Image covers 240 mm x 240 mm. Brain.
FLAIR MR image.
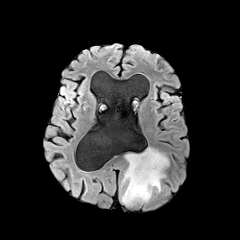
T1-weighted MR image.
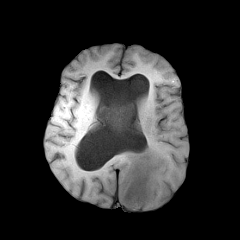
Post-contrast T1-weighted MRI.
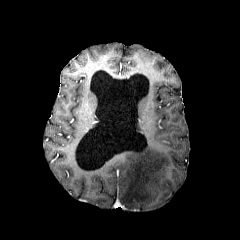
T2-weighted MR.
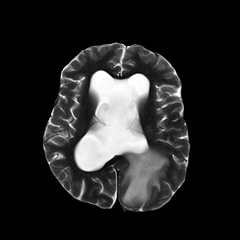
The peritumoral edema is at x1=120, y1=147, x2=169, y2=206.